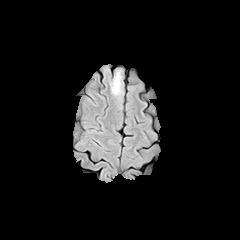
FLAIR MR.
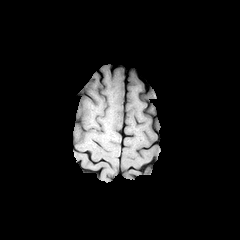
Same slice, T1-weighted MR image.
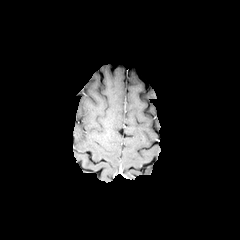
Post-contrast T1-weighted MR image of the same slice.
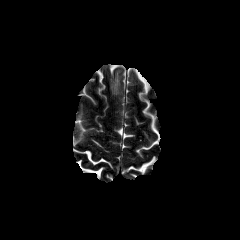
Same slice, T2-weighted MR.
240x240.
The peritumoral edema is bounded by <box>111,71,121,94</box>.